Axial slice. Image size 240x240. Slice 115 of 155. Brain.
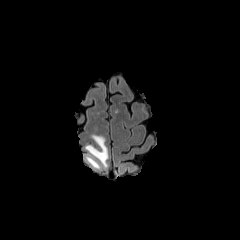
FLAIR magnetic resonance.
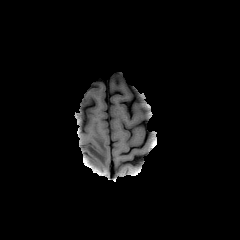
T1-weighted magnetic resonance.
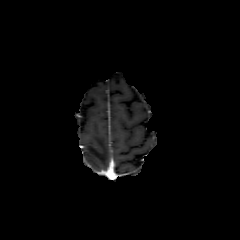
Post-contrast T1-weighted MR image of the same slice.
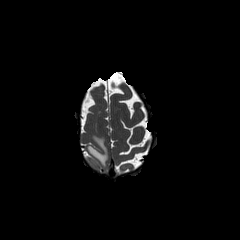
Same slice, T2-weighted magnetic resonance.
<segmentation>
  <peritumoral_edema>[84, 134, 108, 170]</peritumoral_edema>
</segmentation>